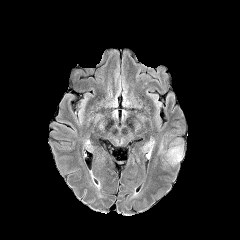
FLAIR MRI.
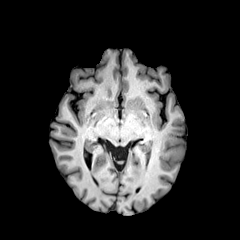
T1-weighted MR image.
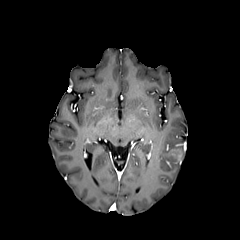
Same slice, post-contrast T1-weighted magnetic resonance.
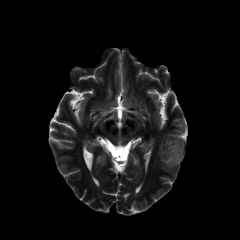
T2-weighted MRI.
Brain. 240x240.
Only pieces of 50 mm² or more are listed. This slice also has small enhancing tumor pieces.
Segmented structures:
* peritumoral edema: bbox(167, 147, 182, 162)